Image size 240x240 | Axial view | Image width 240 mm
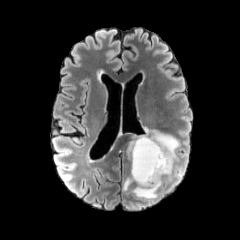
FLAIR magnetic resonance.
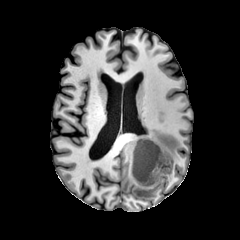
T1-weighted MR image.
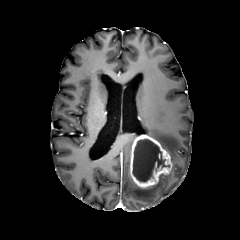
Post-contrast T1-weighted MRI.
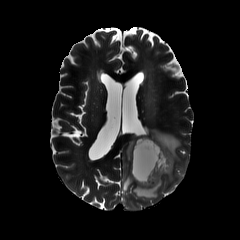
Same slice, T2-weighted magnetic resonance.
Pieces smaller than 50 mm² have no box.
enhancing tumor: {"x1": 129, "y1": 134, "x2": 172, "y2": 188} | peritumoral edema: {"x1": 127, "y1": 136, "x2": 137, "y2": 159}, {"x1": 144, "y1": 127, "x2": 180, "y2": 165}, {"x1": 132, "y1": 175, "x2": 164, "y2": 199}, {"x1": 123, "y1": 176, "x2": 133, "y2": 191} | necrotic tumor core: {"x1": 133, "y1": 139, "x2": 169, "y2": 181}